FLAIR MRI.
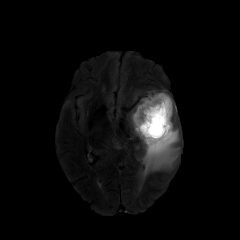
T1-weighted MRI.
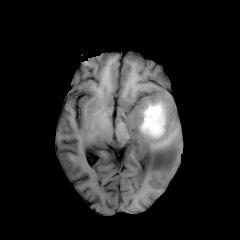
Post-contrast T1-weighted magnetic resonance.
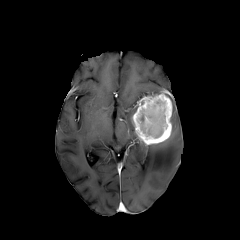
T2-weighted MR.
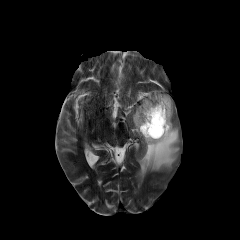
Brain
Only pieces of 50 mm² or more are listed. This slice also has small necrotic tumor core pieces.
peritumoral edema: bounding box {"x1": 140, "y1": 90, "x2": 180, "y2": 178}, {"x1": 130, "y1": 104, "x2": 137, "y2": 134}
enhancing tumor: bounding box {"x1": 132, "y1": 91, "x2": 172, "y2": 145}